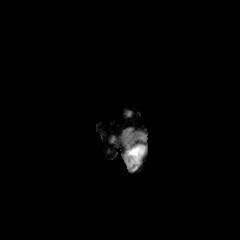
FLAIR magnetic resonance.
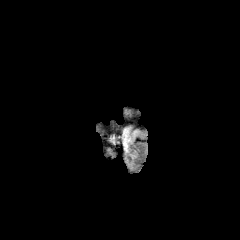
Same slice, T1-weighted magnetic resonance.
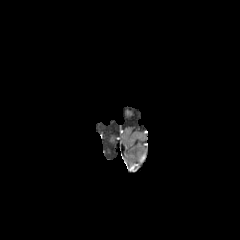
Post-contrast T1-weighted magnetic resonance.
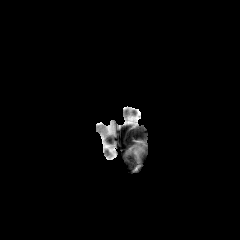
T2-weighted MRI.
Axial view
The peritumoral edema is bounded by x1=127, y1=146, x2=144, y2=162.